Image covers 240 mm x 240 mm. Brain. Axial view.
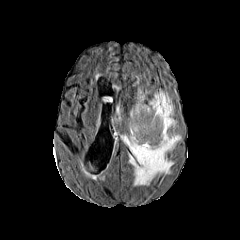
FLAIR MR.
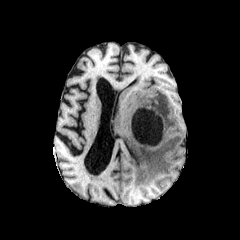
T1-weighted MR of the same slice.
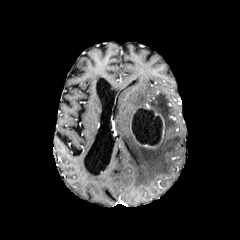
Same slice, post-contrast T1-weighted MR image.
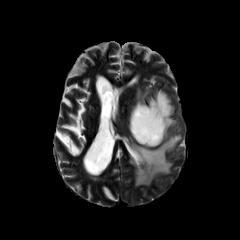
T2-weighted MR of the same slice.
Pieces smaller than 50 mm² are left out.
2 enhancing tumor regions appear at 130,114,158,147; 133,104,164,143. The 2 largest peritumoral edema regions are bounded by 130,89,144,116; 121,90,181,185. The necrotic tumor core is bounded by 131,107,162,145.